240x240. Image width 240 mm.
FLAIR MRI.
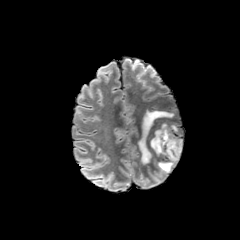
T1-weighted MR image.
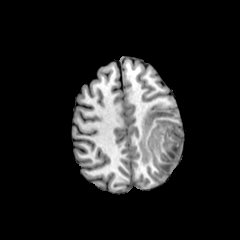
Post-contrast T1-weighted MRI.
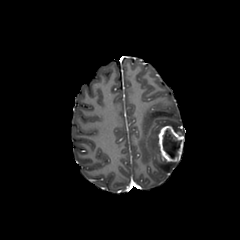
T2-weighted MRI.
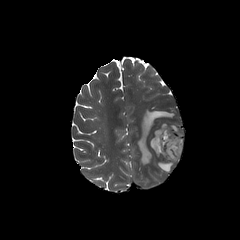
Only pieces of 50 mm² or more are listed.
{
  "peritumoral_edema": [
    "bbox(157, 160, 177, 172)",
    "bbox(150, 123, 182, 155)",
    "bbox(138, 109, 175, 163)"
  ],
  "enhancing_tumor": [
    "bbox(157, 125, 183, 161)"
  ],
  "necrotic_tumor_core": [
    "bbox(162, 128, 181, 158)"
  ]
}